FLAIR magnetic resonance.
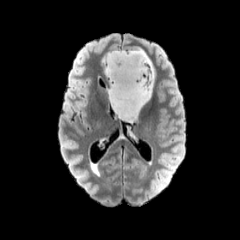
T1-weighted MRI.
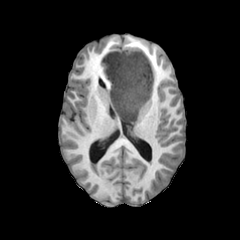
Post-contrast T1-weighted MR image.
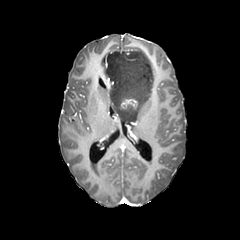
T2-weighted MRI.
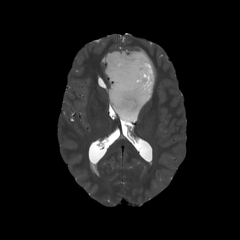
240x240 px, Axial view, Brain
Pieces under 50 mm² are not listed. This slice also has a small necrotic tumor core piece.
The enhancing tumor is bounded by box(121, 99, 137, 108). The peritumoral edema lies within box(103, 48, 154, 122).